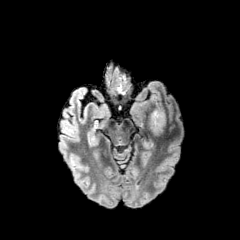
FLAIR magnetic resonance.
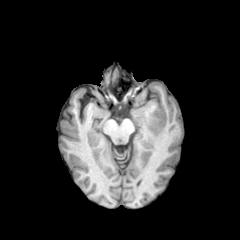
T1-weighted magnetic resonance.
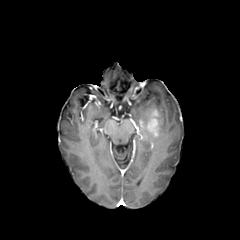
Post-contrast T1-weighted MR image of the same slice.
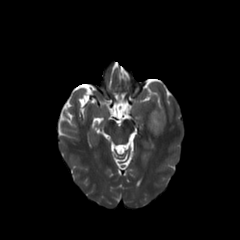
Same slice, T2-weighted MRI.
The peritumoral edema appears at (156, 108, 164, 132). The enhancing tumor lies within (141, 109, 161, 136).